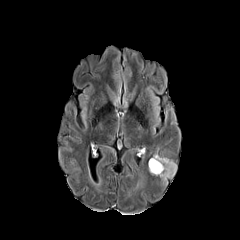
FLAIR MR image.
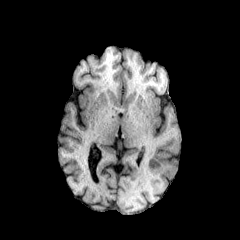
T1-weighted magnetic resonance of the same slice.
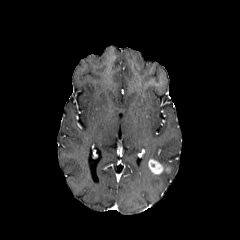
Post-contrast T1-weighted MRI.
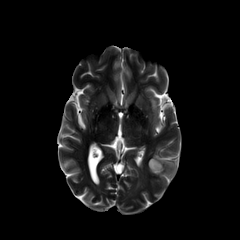
T2-weighted MR image.
Image size 240x240
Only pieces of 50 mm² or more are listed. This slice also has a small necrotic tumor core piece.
The largest enhancing tumor region is located at 148 159 163 174. The largest peritumoral edema region is located at 151 153 176 183.